FLAIR MRI.
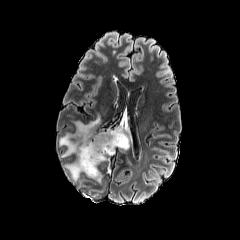
T1-weighted magnetic resonance.
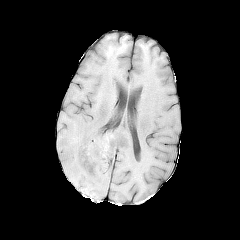
Post-contrast T1-weighted magnetic resonance.
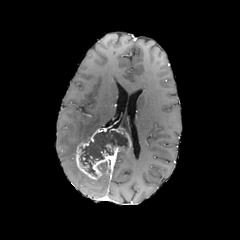
T2-weighted magnetic resonance.
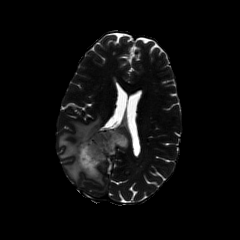
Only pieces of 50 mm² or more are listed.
peritumoral edema: box(65, 160, 81, 180); box(59, 114, 100, 157) | necrotic tumor core: box(79, 129, 128, 176) | enhancing tumor: box(75, 127, 131, 180)